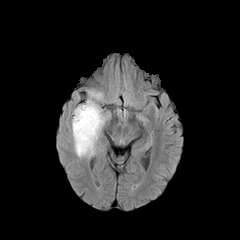
FLAIR MR image.
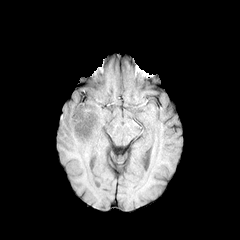
T1-weighted MR image.
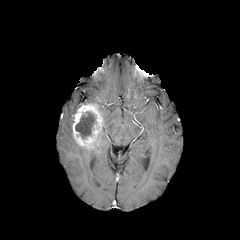
Post-contrast T1-weighted magnetic resonance of the same slice.
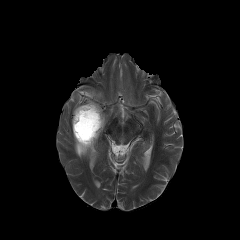
T2-weighted MRI of the same slice.
240x240 px; Head
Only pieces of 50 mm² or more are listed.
The 3 largest peritumoral edema regions appear at <bbox>73, 136, 97, 157</bbox>, <bbox>97, 104, 106, 127</bbox>, <bbox>86, 91, 102, 103</bbox>. The enhancing tumor is bounded by <bbox>72, 104, 103, 148</bbox>. The necrotic tumor core is at <bbox>75, 111, 96, 139</bbox>.